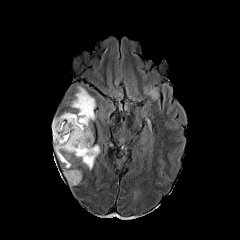
FLAIR MR.
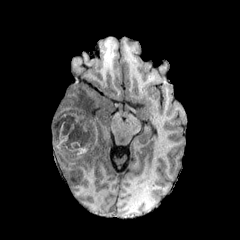
T1-weighted MRI.
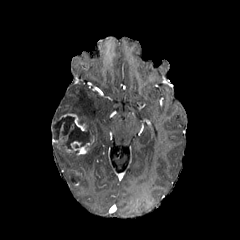
Same slice, post-contrast T1-weighted MR image.
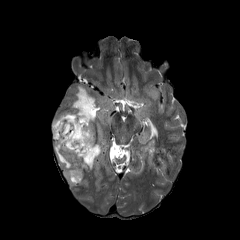
T2-weighted MRI.
Head; Axial plane
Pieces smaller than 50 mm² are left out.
{
  "peritumoral_edema": [
    "(52,117,59,137)",
    "(64,169,82,185)",
    "(71,86,95,131)",
    "(75,144,100,169)",
    "(145,87,159,99)",
    "(54,143,71,168)"
  ],
  "enhancing_tumor": [
    "(59,113,86,130)",
    "(64,138,93,155)"
  ],
  "necrotic_tumor_core": [
    "(54,116,92,150)"
  ]
}